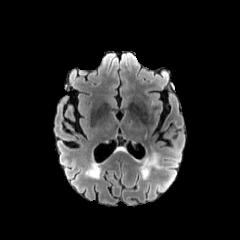
FLAIR MRI.
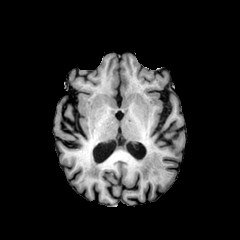
T1-weighted MR.
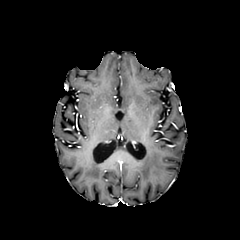
Post-contrast T1-weighted MR.
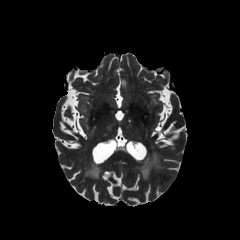
T2-weighted MR image.
Axial view, Brain
The peritumoral edema appears at l=139, t=149, r=163, b=179.